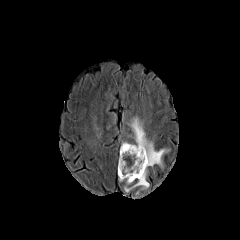
FLAIR MR.
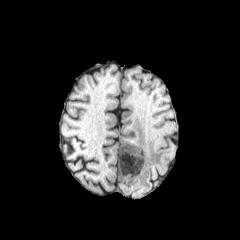
T1-weighted MR image of the same slice.
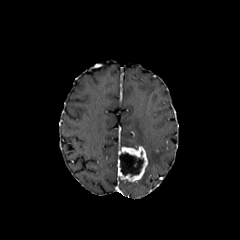
Post-contrast T1-weighted magnetic resonance of the same slice.
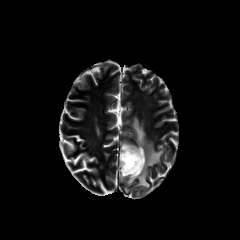
T2-weighted magnetic resonance of the same slice.
Head; Axial view
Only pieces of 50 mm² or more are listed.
The largest necrotic tumor core region is located at <bbox>120, 152, 143, 176</bbox>. The largest peritumoral edema region is bounded by <bbox>121, 117, 167, 196</bbox>. The enhancing tumor is at <bbox>118, 146, 147, 181</bbox>.